FLAIR MR image.
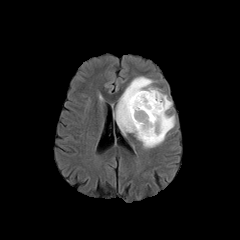
T1-weighted MRI.
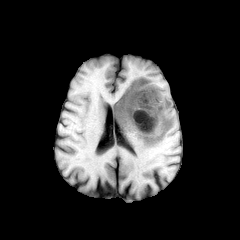
Post-contrast T1-weighted MR image.
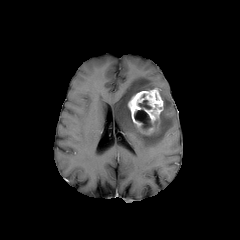
T2-weighted MR image.
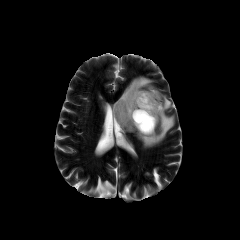
Axial slice; Head
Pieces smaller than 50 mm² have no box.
Segmented structures:
• enhancing tumor: rect(128, 88, 163, 135)
• peritumoral edema: rect(114, 76, 175, 148)
• necrotic tumor core: rect(134, 109, 152, 129); rect(138, 100, 151, 109)